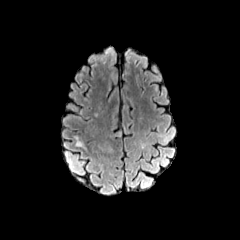
FLAIR MR.
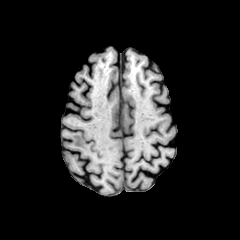
Same slice, T1-weighted magnetic resonance.
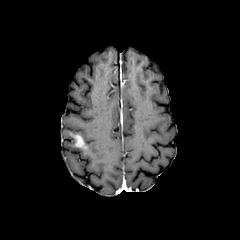
Same slice, post-contrast T1-weighted MR.
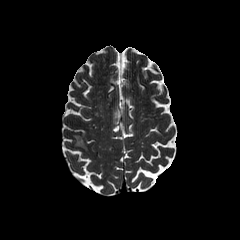
T2-weighted MR image.
Image size 240x240
{
  "enhancing_tumor": [
    "72, 135, 86, 148"
  ]
}